Head, Slice index 34, Image width 240 mm
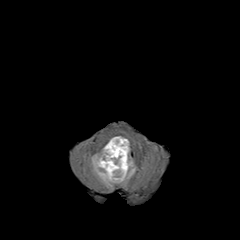
FLAIR magnetic resonance.
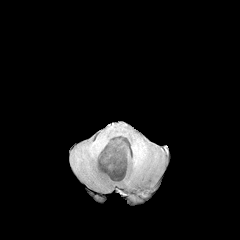
T1-weighted MR.
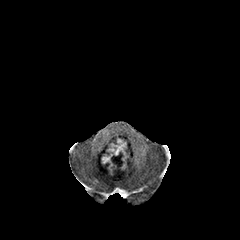
Same slice, post-contrast T1-weighted MRI.
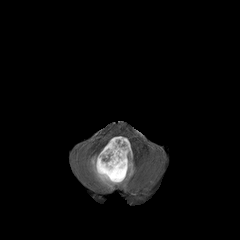
T2-weighted MRI.
<segmentation>
  <peritumoral_edema>box=[91, 136, 135, 188]</peritumoral_edema>
  <necrotic_tumor_core>box=[111, 152, 123, 166]</necrotic_tumor_core>
  <enhancing_tumor>box=[99, 138, 127, 178]</enhancing_tumor>
</segmentation>